FLAIR MRI.
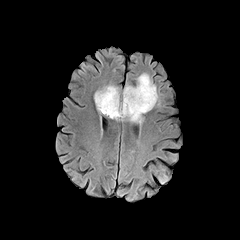
T1-weighted MRI.
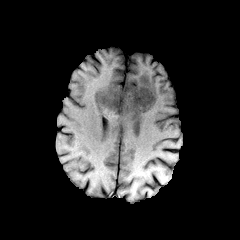
Post-contrast T1-weighted magnetic resonance.
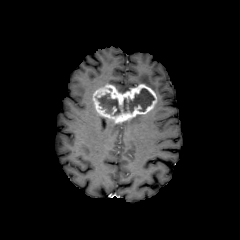
T2-weighted MRI.
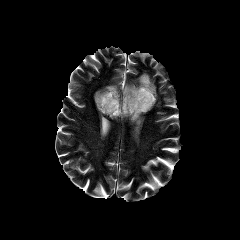
Image size 240x240 | Axial plane
enhancing tumor — <bbox>93, 84, 157, 122</bbox>
peritumoral edema — <bbox>129, 115, 144, 129</bbox>, <bbox>116, 84, 133, 92</bbox>, <bbox>137, 73, 160, 105</bbox>
necrotic tumor core — <bbox>123, 88, 154, 112</bbox>, <bbox>98, 94, 120, 115</bbox>